Head | Slice index 124
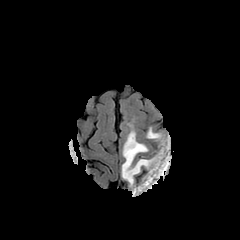
FLAIR magnetic resonance.
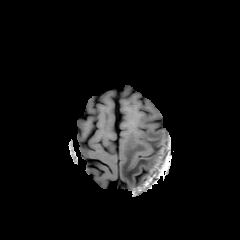
Same slice, T1-weighted MR.
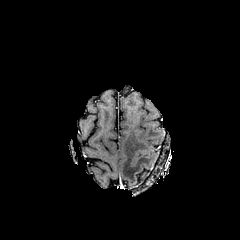
Post-contrast T1-weighted MR image.
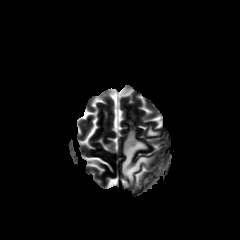
Same slice, T2-weighted magnetic resonance.
2 peritumoral edema regions are bounded by x1=147 y1=127 x2=160 y2=138, x1=121 y1=130 x2=156 y2=186.